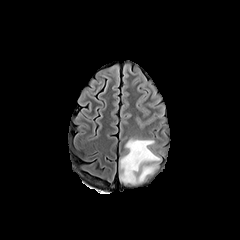
FLAIR MRI.
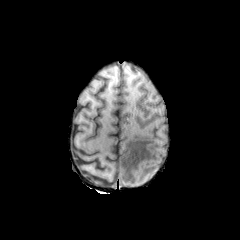
T1-weighted MRI of the same slice.
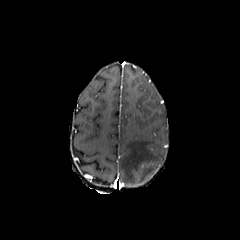
Post-contrast T1-weighted MR.
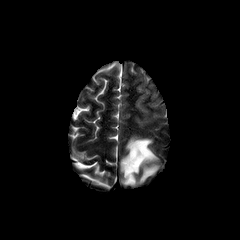
T2-weighted MR image.
Image size 240x240 | Axial view | Brain
peritumoral edema = region(119, 137, 161, 185)